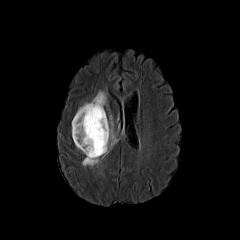
FLAIR MR.
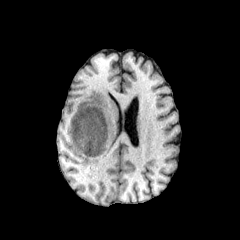
T1-weighted MRI.
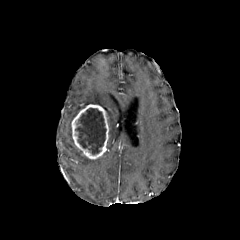
Post-contrast T1-weighted MR.
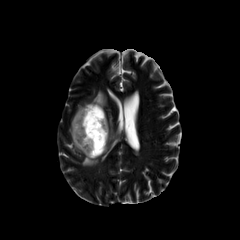
T2-weighted magnetic resonance.
Brain.
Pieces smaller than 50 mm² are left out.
Findings:
- necrotic tumor core: x1=75, y1=108, x2=106, y2=154
- enhancing tumor: x1=71, y1=104, x2=109, y2=159
- peritumoral edema: x1=82, y1=150, x2=108, y2=166; x1=76, y1=90, x2=107, y2=114; x1=107, y1=115, x2=116, y2=149